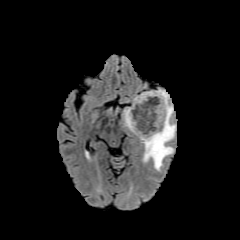
FLAIR MR.
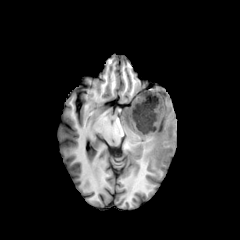
Same slice, T1-weighted MRI.
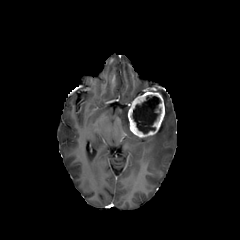
Post-contrast T1-weighted magnetic resonance.
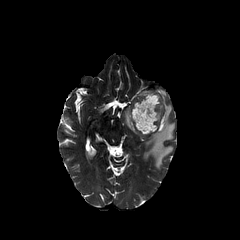
T2-weighted MRI of the same slice.
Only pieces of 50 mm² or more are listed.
necrotic tumor core: (left=132, top=95, right=160, bottom=133) | peritumoral edema: (left=123, top=107, right=129, bottom=129), (left=140, top=89, right=176, bottom=170) | enhancing tumor: (left=128, top=91, right=164, bottom=137)